FLAIR MRI.
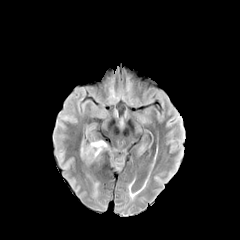
T1-weighted magnetic resonance.
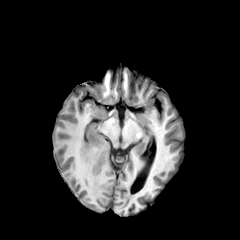
Post-contrast T1-weighted magnetic resonance.
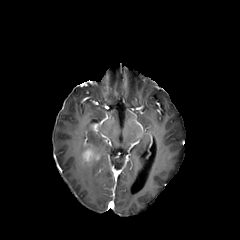
T2-weighted MR image.
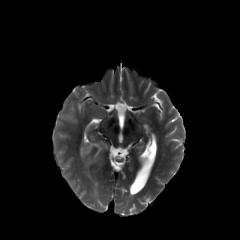
240x240
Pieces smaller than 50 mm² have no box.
<segmentation>
  <enhancing_tumor>[82, 144, 99, 162]</enhancing_tumor>
  <peritumoral_edema>[91, 140, 106, 154]</peritumoral_edema>
</segmentation>